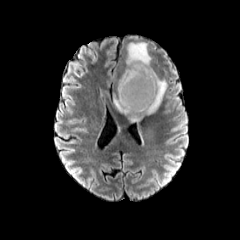
FLAIR MRI.
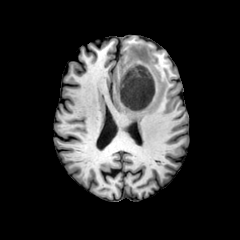
Same slice, T1-weighted MR.
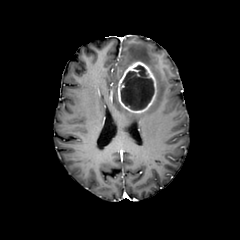
Post-contrast T1-weighted MR.
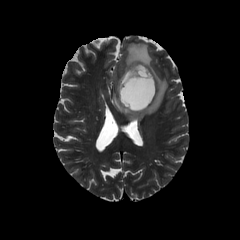
T2-weighted MR image.
Head.
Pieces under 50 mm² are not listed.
The peritumoral edema is located at (113, 42, 167, 121). The necrotic tumor core lies within (121, 65, 154, 110). The largest enhancing tumor region is bounded by (117, 61, 156, 113).